FLAIR MR.
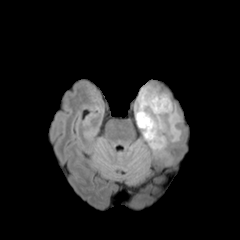
T1-weighted MR image.
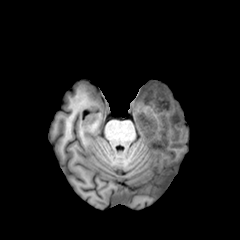
Post-contrast T1-weighted magnetic resonance.
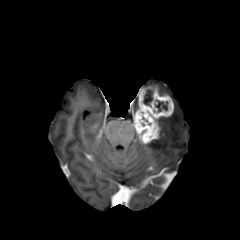
T2-weighted MRI.
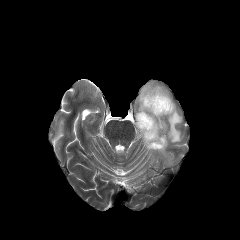
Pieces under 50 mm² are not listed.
necrotic tumor core: left=155, top=100, right=167, bottom=111; left=143, top=90, right=152, bottom=106
enhancing tumor: left=134, top=86, right=173, bottom=143
peritumoral edema: left=146, top=103, right=181, bottom=152